FLAIR MRI.
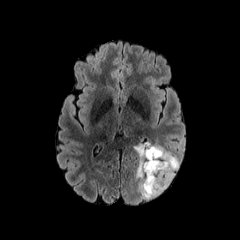
T1-weighted MR.
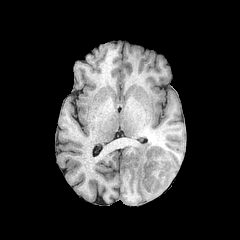
Post-contrast T1-weighted MR image.
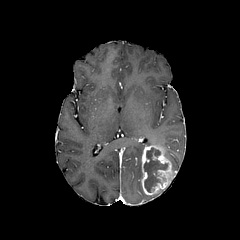
T2-weighted magnetic resonance.
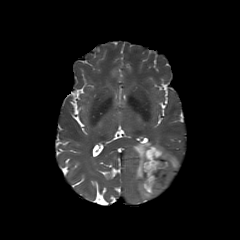
Brain
The enhancing tumor is bounded by 140,145,173,195. The necrotic tumor core is bounded by 144,147,168,192. 2 peritumoral edema regions are bounded by 165,149,179,177; 134,142,163,199.